FLAIR MR image.
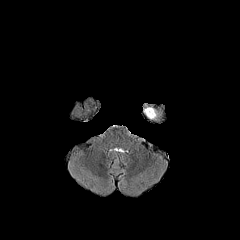
T1-weighted magnetic resonance.
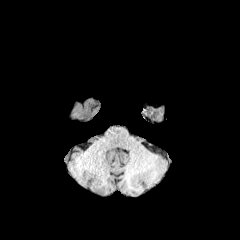
Post-contrast T1-weighted MRI.
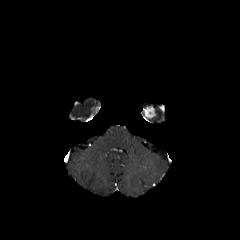
T2-weighted MRI.
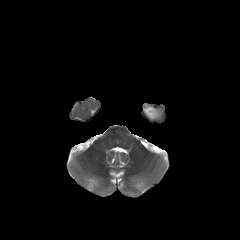
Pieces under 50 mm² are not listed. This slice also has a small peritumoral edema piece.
enhancing tumor: 143, 107, 155, 118